FLAIR MR image.
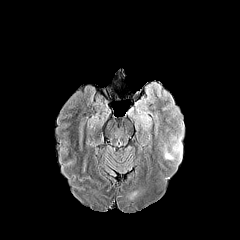
T1-weighted MRI.
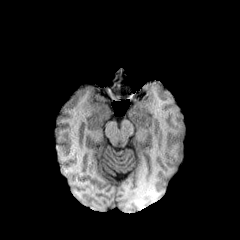
Post-contrast T1-weighted MRI.
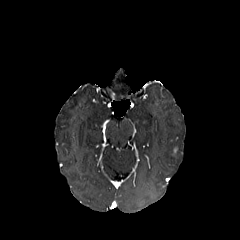
T2-weighted MRI.
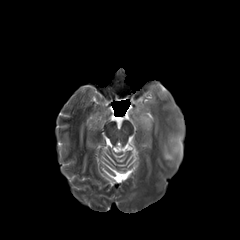
Head, Axial plane
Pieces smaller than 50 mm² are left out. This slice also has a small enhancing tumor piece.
<segmentation>
  <peritumoral_edema>[146, 83, 160, 93], [163, 119, 184, 162], [135, 101, 152, 133]</peritumoral_edema>
</segmentation>